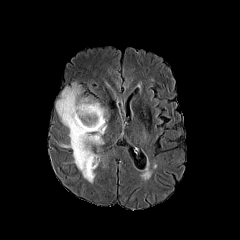
FLAIR MR image.
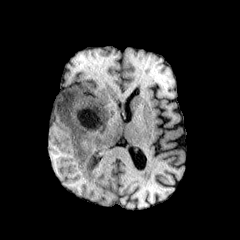
T1-weighted MRI.
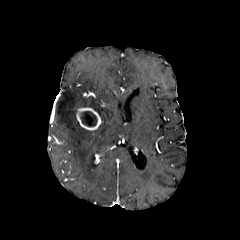
Post-contrast T1-weighted MR image of the same slice.
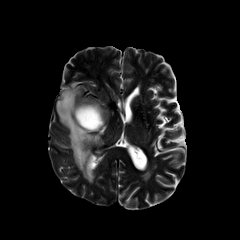
Same slice, T2-weighted MRI.
Axial slice. Brain.
necrotic tumor core: 80, 111, 97, 126 | peritumoral edema: 56, 83, 106, 182 | enhancing tumor: 76, 107, 102, 130